Slice 98 of 155. Brain. 240x240 px.
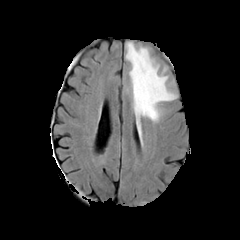
FLAIR MR.
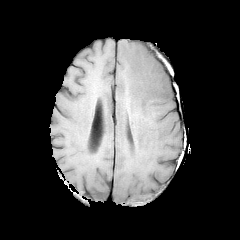
Same slice, T1-weighted MR image.
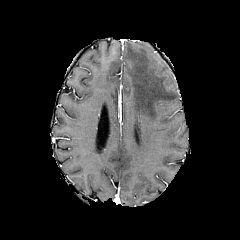
Post-contrast T1-weighted MRI.
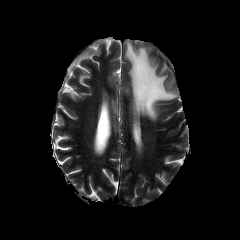
T2-weighted MR.
{
  "peritumoral_edema": [
    "<bbox>125, 42, 176, 125</bbox>"
  ]
}